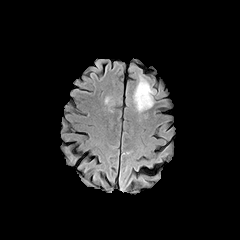
FLAIR MR.
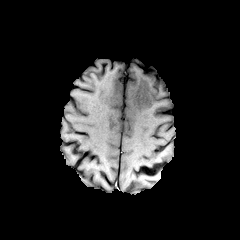
T1-weighted magnetic resonance.
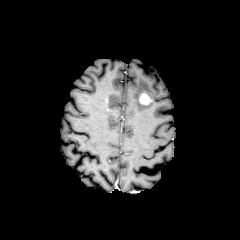
Same slice, post-contrast T1-weighted MR image.
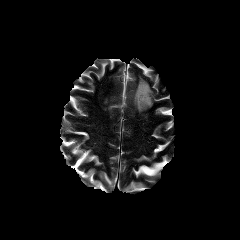
T2-weighted MR image of the same slice.
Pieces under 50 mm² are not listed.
<segmentation>
  <peritumoral_edema><box>102,97,112,108</box>, <box>132,75,155,112</box></peritumoral_edema>
  <enhancing_tumor><box>139,92,151,104</box></enhancing_tumor>
</segmentation>